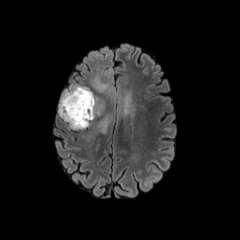
FLAIR MR image.
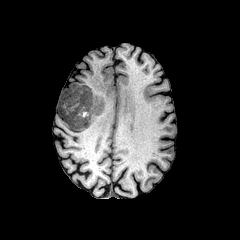
T1-weighted MR image.
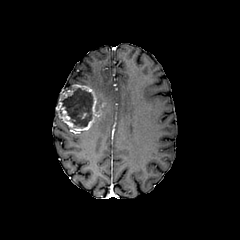
Post-contrast T1-weighted MR.
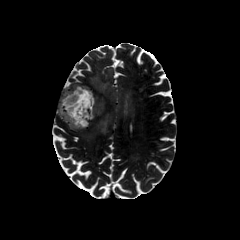
T2-weighted MR.
Image size 240x240. Brain. Axial view.
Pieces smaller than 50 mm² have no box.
Segmented structures:
• enhancing tumor: (x1=57, y1=84, x2=104, y2=132)
• peritumoral edema: (x1=90, y1=57, x2=133, y2=117), (x1=97, y1=115, x2=111, y2=133)
• necrotic tumor core: (x1=61, y1=88, x2=93, y2=126)